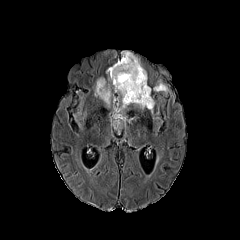
FLAIR magnetic resonance.
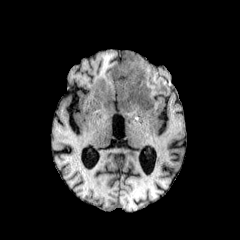
T1-weighted MRI.
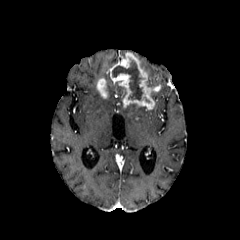
Post-contrast T1-weighted MRI.
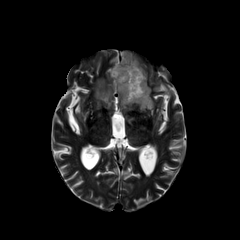
T2-weighted magnetic resonance.
Image size 240x240, Axial plane, Head
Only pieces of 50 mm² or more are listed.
necrotic_tumor_core:
  - 112 61 142 100
peritumoral_edema:
  - 158 81 168 93
  - 94 71 126 106
enhancing_tumor:
  - 108 51 161 109
  - 96 78 108 98